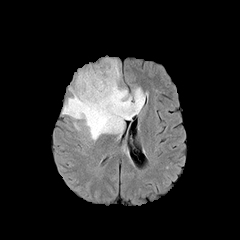
FLAIR MR image.
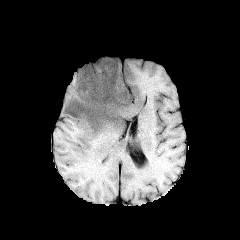
T1-weighted MR.
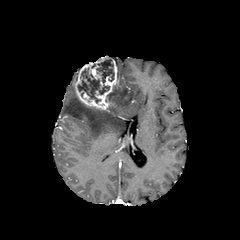
Post-contrast T1-weighted magnetic resonance.
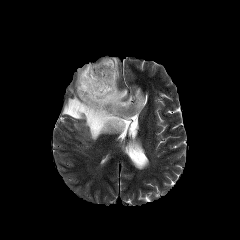
Same slice, T2-weighted MR.
Axial slice.
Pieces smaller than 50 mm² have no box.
{
  "peritumoral_edema": [
    "bbox=[62, 85, 144, 140]"
  ],
  "enhancing_tumor": [
    "bbox=[75, 56, 118, 110]"
  ],
  "necrotic_tumor_core": [
    "bbox=[77, 59, 114, 102]"
  ]
}